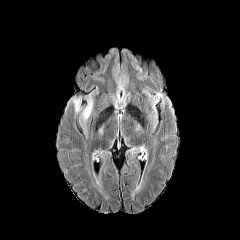
FLAIR MRI.
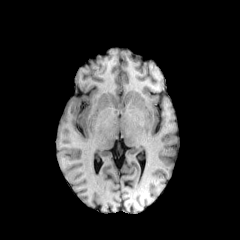
T1-weighted MRI.
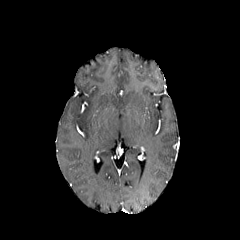
Post-contrast T1-weighted MRI.
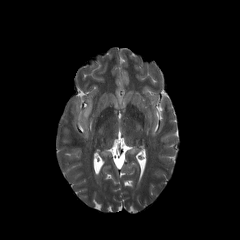
T2-weighted MR of the same slice.
Brain | 240x240 px
The peritumoral edema lies within region(70, 87, 98, 137).